FLAIR magnetic resonance.
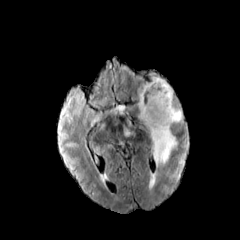
T1-weighted magnetic resonance.
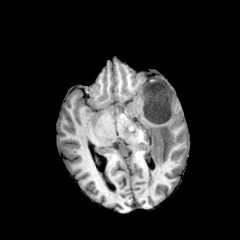
Post-contrast T1-weighted MRI.
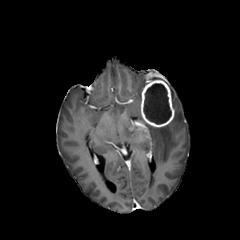
T2-weighted MR.
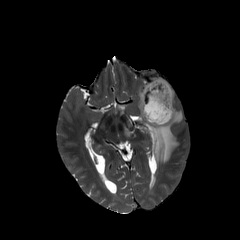
Brain | Axial plane
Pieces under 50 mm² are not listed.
peritumoral_edema:
  - {"x1": 145, "y1": 87, "x2": 182, "y2": 165}
  - {"x1": 138, "y1": 89, "x2": 143, "y2": 120}
enhancing_tumor:
  - {"x1": 140, "y1": 79, "x2": 174, "y2": 127}
necrotic_tumor_core:
  - {"x1": 143, "y1": 83, "x2": 171, "y2": 124}